Image width 240 mm, 1.00 mm slice spacing | 240x240 | Axial view | Brain
FLAIR MRI.
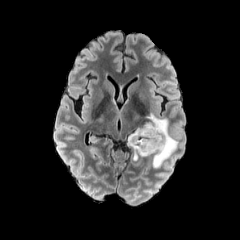
T1-weighted magnetic resonance.
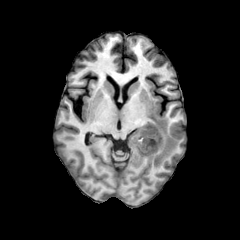
Post-contrast T1-weighted magnetic resonance.
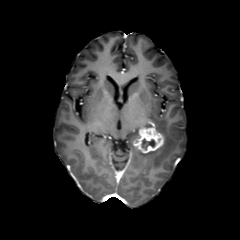
T2-weighted MR.
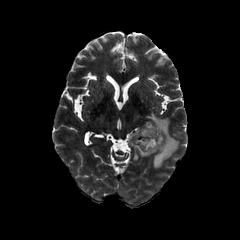
The peritumoral edema is located at bbox(127, 112, 178, 168). The enhancing tumor appears at bbox(133, 127, 163, 153). The necrotic tumor core is bounded by bbox(141, 139, 155, 149).